FLAIR MRI.
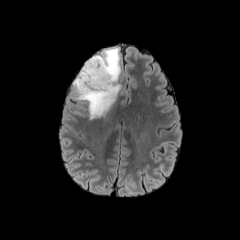
T1-weighted magnetic resonance.
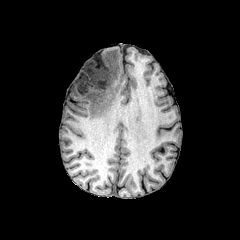
Post-contrast T1-weighted MR image.
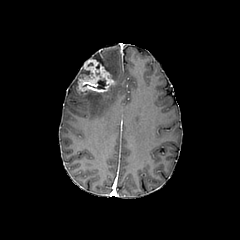
T2-weighted MR image.
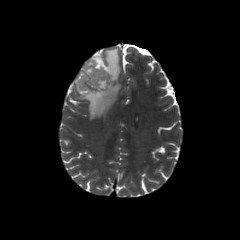
Axial view, Brain
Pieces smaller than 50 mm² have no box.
Findings:
- necrotic tumor core: (89, 79, 106, 89)
- enhancing tumor: (77, 58, 114, 95)
- peritumoral edema: (73, 48, 120, 119)